Axial plane. Head. 240x240 px.
FLAIR MR.
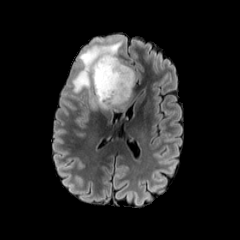
T1-weighted MR.
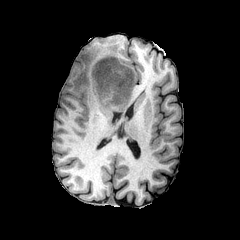
Post-contrast T1-weighted MRI.
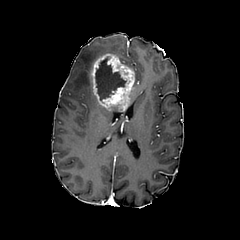
T2-weighted MR.
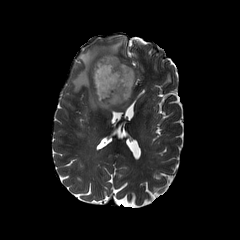
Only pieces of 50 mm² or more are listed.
peritumoral_edema:
  - box(72, 38, 121, 110)
necrotic_tumor_core:
  - box(95, 57, 126, 100)
enhancing_tumor:
  - box(90, 53, 134, 110)